Slice 133/155
FLAIR MRI.
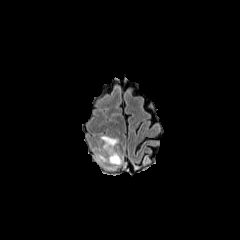
T1-weighted magnetic resonance.
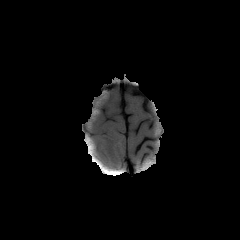
Post-contrast T1-weighted MR image.
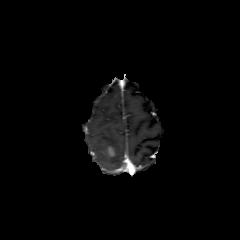
T2-weighted MRI.
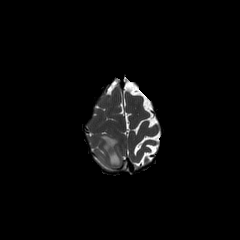
peritumoral edema at rect(101, 135, 117, 153); rect(97, 150, 122, 164)
enhancing tumor at rect(106, 145, 115, 157)